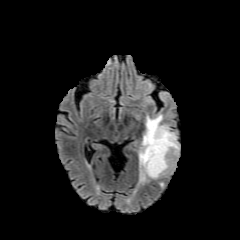
FLAIR magnetic resonance.
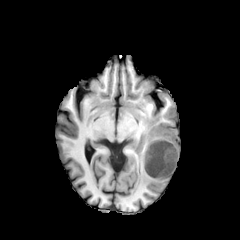
T1-weighted MRI of the same slice.
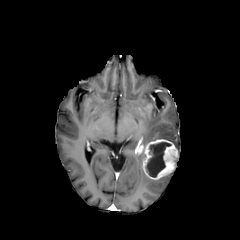
Same slice, post-contrast T1-weighted MR image.
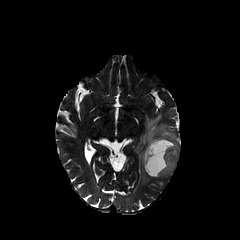
T2-weighted magnetic resonance.
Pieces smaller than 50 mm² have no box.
peritumoral edema: bounding box 138,114,179,183
enhancing tumor: bounding box 142,139,178,179
necrotic tumor core: bounding box 146,142,170,177